Axial plane. Slice index 123. Head.
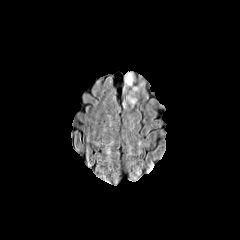
FLAIR magnetic resonance.
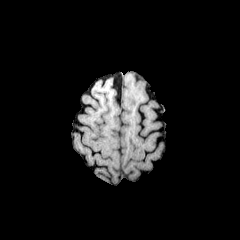
T1-weighted MR of the same slice.
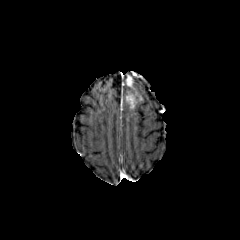
Post-contrast T1-weighted MRI of the same slice.
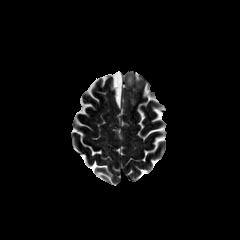
T2-weighted MRI.
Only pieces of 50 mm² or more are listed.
The largest peritumoral edema region is at left=125, top=85, right=137, bottom=98. 2 enhancing tumor regions appear at left=126, top=95, right=135, bottom=106; left=126, top=75, right=132, bottom=86.